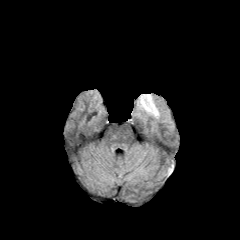
FLAIR magnetic resonance.
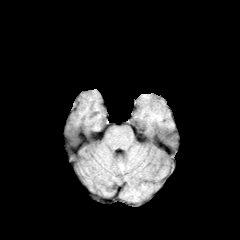
T1-weighted MRI.
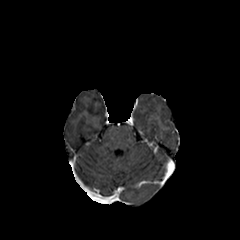
Post-contrast T1-weighted MRI of the same slice.
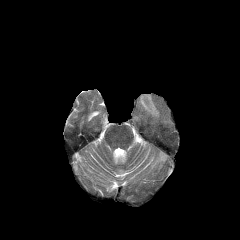
T2-weighted MRI.
peritumoral edema = (x1=140, y1=95, x2=158, y2=116)